FLAIR MR image.
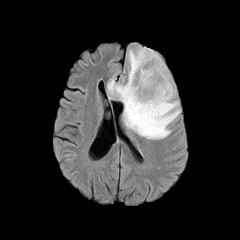
T1-weighted MR image.
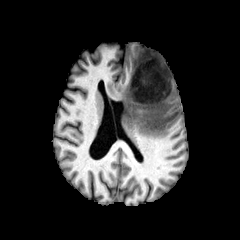
Post-contrast T1-weighted MRI.
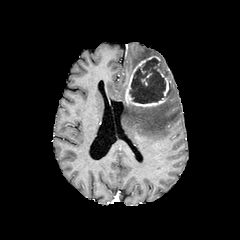
T2-weighted MR.
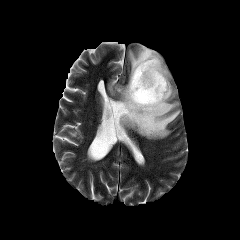
Head
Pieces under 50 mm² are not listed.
<segmentation>
  <enhancing_tumor>125,56,170,107</enhancing_tumor>
  <necrotic_tumor_core>129,58,169,103</necrotic_tumor_core>
  <peritumoral_edema>128,46,169,82; 107,74,180,139</peritumoral_edema>
</segmentation>